Slice index 24
FLAIR magnetic resonance.
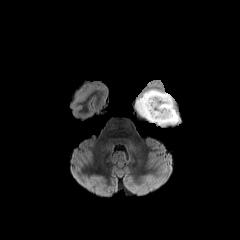
T1-weighted magnetic resonance.
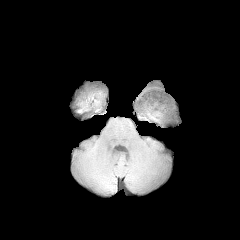
Post-contrast T1-weighted MR.
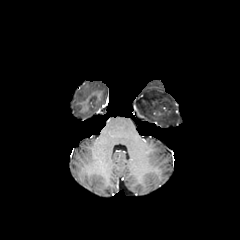
T2-weighted MR.
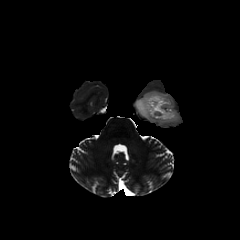
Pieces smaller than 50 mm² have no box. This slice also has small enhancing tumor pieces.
peritumoral edema: <box>136,89,179,126</box>